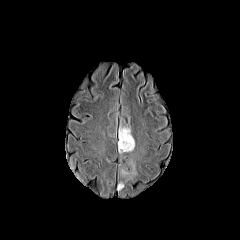
FLAIR MRI.
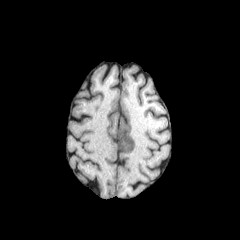
T1-weighted MR image of the same slice.
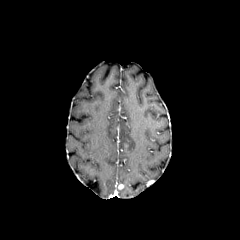
Post-contrast T1-weighted magnetic resonance of the same slice.
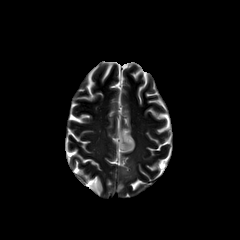
T2-weighted MR.
Brain
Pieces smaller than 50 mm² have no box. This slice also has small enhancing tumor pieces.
Segmented structures:
• peritumoral edema: (x1=120, y1=160, x2=136, y2=180), (x1=117, y1=126, x2=135, y2=154)